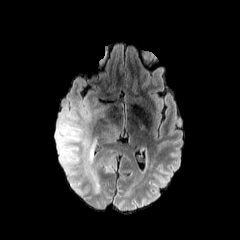
FLAIR MR.
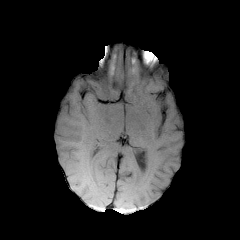
Same slice, T1-weighted MRI.
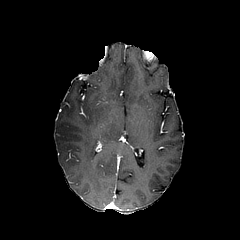
Same slice, post-contrast T1-weighted magnetic resonance.
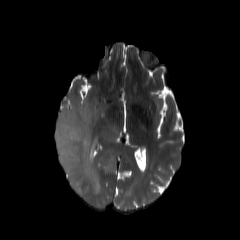
Same slice, T2-weighted magnetic resonance.
Axial plane
3 peritumoral edema regions are located at [103, 125, 120, 142], [96, 155, 116, 172], [55, 98, 108, 194].